FLAIR MR.
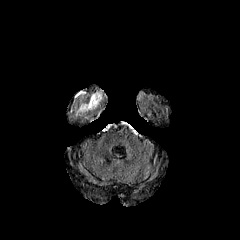
T1-weighted MR.
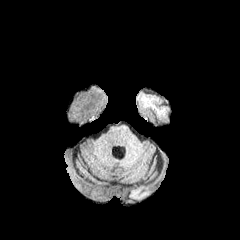
Post-contrast T1-weighted MR image.
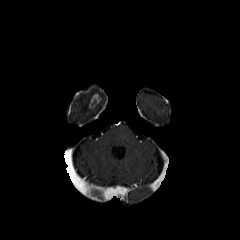
T2-weighted MRI.
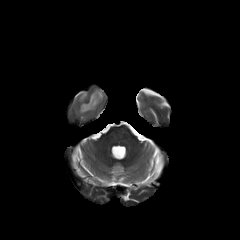
Brain, Axial plane, 240x240 px
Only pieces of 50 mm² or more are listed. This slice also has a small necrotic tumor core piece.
The enhancing tumor lies within l=89, t=93, r=100, b=108. The largest peritumoral edema region is located at l=75, t=92, r=99, b=116.